FLAIR MRI.
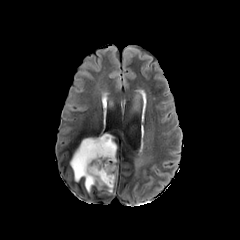
T1-weighted magnetic resonance.
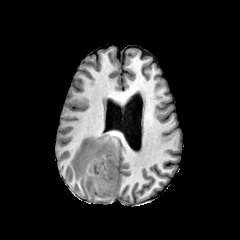
Post-contrast T1-weighted MRI.
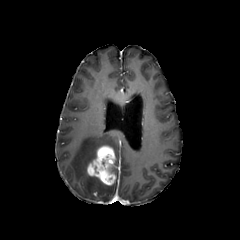
T2-weighted magnetic resonance.
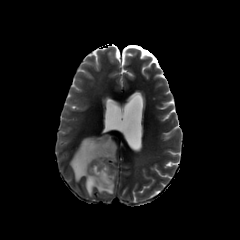
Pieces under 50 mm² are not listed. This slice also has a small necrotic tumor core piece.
peritumoral edema: (70,134,117,194) | enhancing tumor: (87,145,115,185)